FLAIR MR.
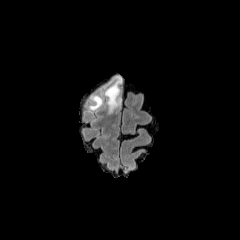
T1-weighted MRI.
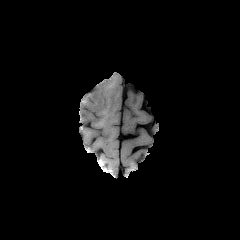
Post-contrast T1-weighted magnetic resonance.
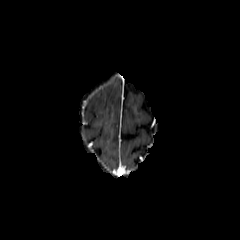
T2-weighted MR image.
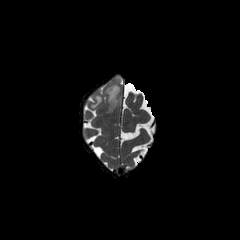
Head | 240x240 | Axial view
peritumoral edema: (90, 76, 122, 112)